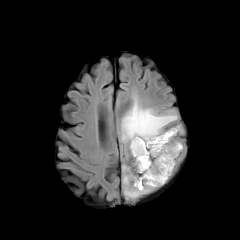
FLAIR MR image.
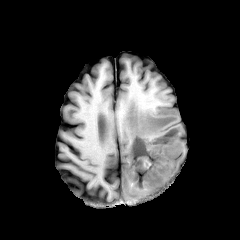
Same slice, T1-weighted MRI.
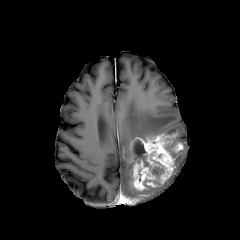
Same slice, post-contrast T1-weighted MR image.
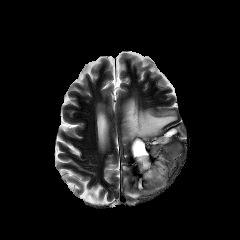
T2-weighted MR image of the same slice.
Image size 240x240; Axial view
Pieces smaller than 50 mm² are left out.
- peritumoral edema: 165,126,182,133; 123,174,153,198; 121,100,177,144
- necrotic tumor core: 152,167,163,176; 133,140,148,166
- enhancing tumor: 130,132,183,190